Brain; Slice 71/155
FLAIR MR image.
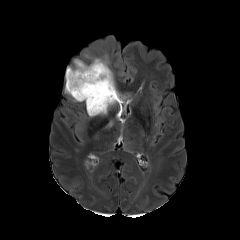
T1-weighted magnetic resonance.
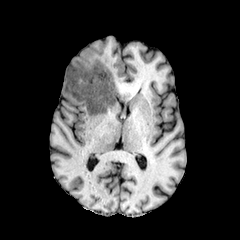
Post-contrast T1-weighted MRI.
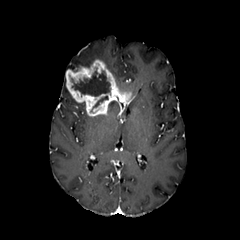
T2-weighted MRI.
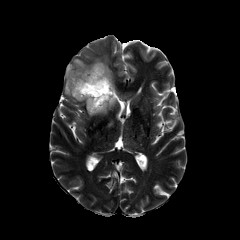
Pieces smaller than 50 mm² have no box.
peritumoral_edema:
  - <bbox>92, 55, 112, 73</bbox>
  - <bbox>67, 59, 89, 69</bbox>
enhancing_tumor:
  - <bbox>65, 59, 131, 116</bbox>
necrotic_tumor_core:
  - <bbox>93, 96, 108, 107</bbox>
  - <bbox>72, 71, 110, 96</bbox>